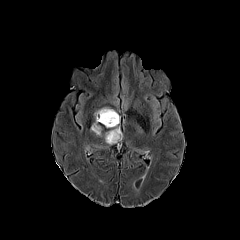
FLAIR MR image.
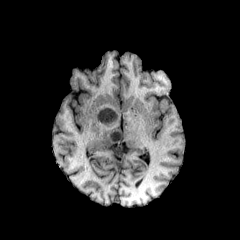
T1-weighted MR image.
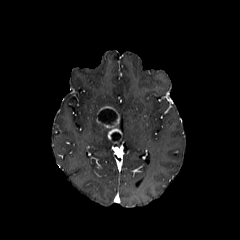
Post-contrast T1-weighted magnetic resonance.
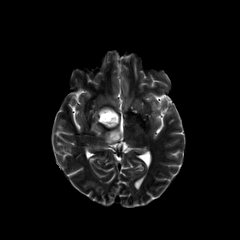
T2-weighted MR of the same slice.
Axial slice
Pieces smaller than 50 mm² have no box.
necrotic tumor core: bounding box [98,109,117,125], [111,132,120,141]
peritumoral edema: bounding box [105,132,114,144], [91,111,101,136]
enhancing tumor: bounding box [96,106,121,142]